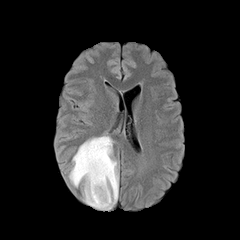
FLAIR MR.
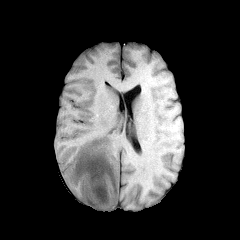
T1-weighted magnetic resonance.
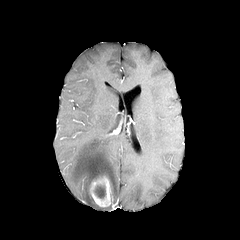
Post-contrast T1-weighted MRI of the same slice.
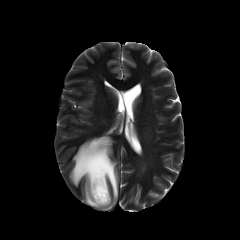
Same slice, T2-weighted MR image.
Brain; Image size 240x240
enhancing tumor at <bbox>89, 176, 111, 206</bbox>
peritumoral edema at <bbox>69, 135, 118, 210</bbox>
necrotic tumor core at <bbox>94, 185, 105, 198</bbox>